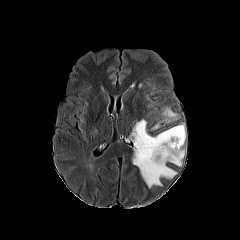
FLAIR MRI.
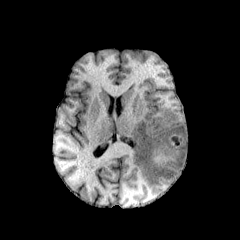
Same slice, T1-weighted MRI.
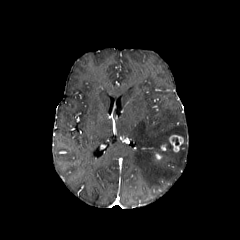
Post-contrast T1-weighted MR.
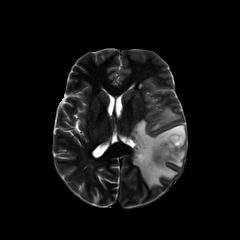
Same slice, T2-weighted MR image.
Head
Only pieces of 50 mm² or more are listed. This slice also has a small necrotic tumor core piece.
The 2 largest enhancing tumor regions appear at [155,153,162,160], [169,134,183,152]. The 2 largest peritumoral edema regions appear at [130,119,186,188], [160,107,179,123].